FLAIR MR image.
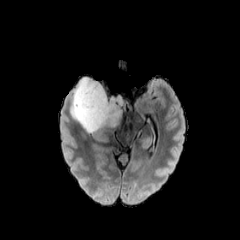
T1-weighted MR image.
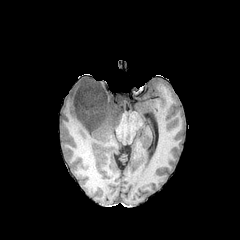
Post-contrast T1-weighted MR.
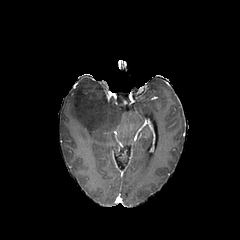
T2-weighted magnetic resonance.
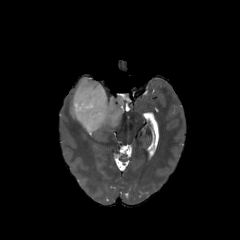
Axial slice. Head.
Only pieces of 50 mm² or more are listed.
peritumoral edema at bbox=[71, 76, 126, 136]